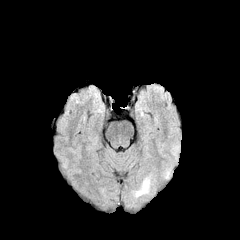
FLAIR MR.
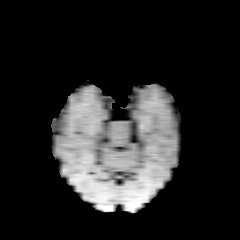
T1-weighted MR of the same slice.
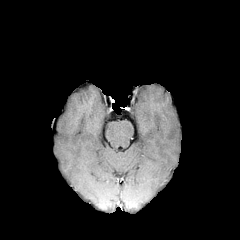
Post-contrast T1-weighted MR.
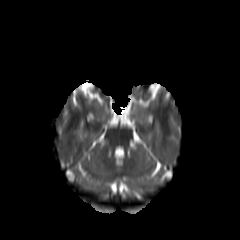
Same slice, T2-weighted MRI.
Axial plane. Head.
peritumoral edema at left=134, top=177, right=149, bottom=197